FLAIR MRI.
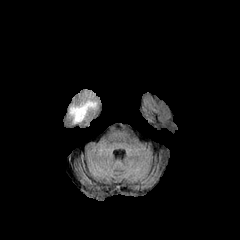
T1-weighted MRI.
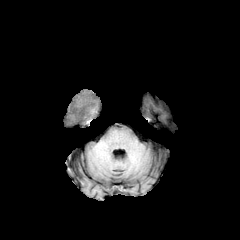
Post-contrast T1-weighted MR image.
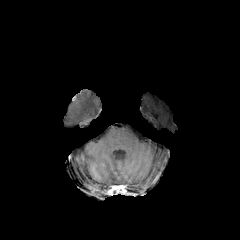
T2-weighted MRI.
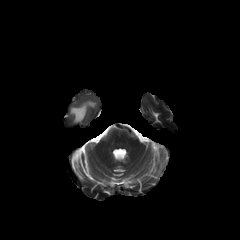
Axial plane
<segmentation>
  <peritumoral_edema>(left=69, top=94, right=97, bottom=123)</peritumoral_edema>
</segmentation>